FLAIR MRI.
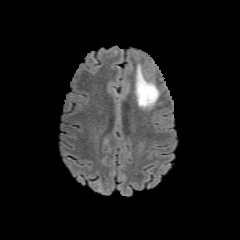
T1-weighted MRI.
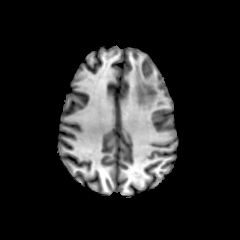
Post-contrast T1-weighted MR image.
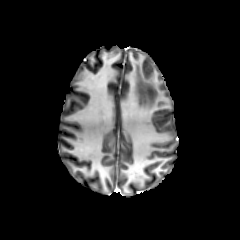
T2-weighted MRI.
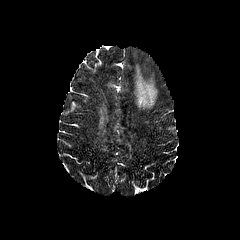
Brain; Axial view; 240x240 px
Annotated regions:
- peritumoral edema: x1=135 y1=66 x2=158 y2=107